FLAIR magnetic resonance.
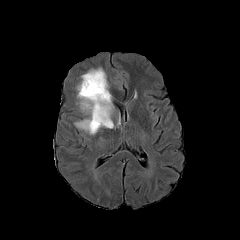
T1-weighted MRI.
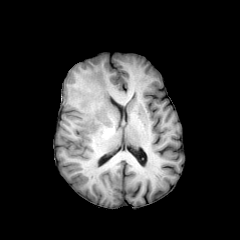
Post-contrast T1-weighted magnetic resonance.
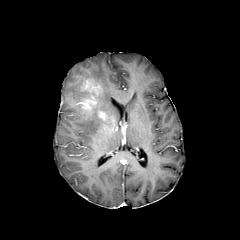
T2-weighted MR.
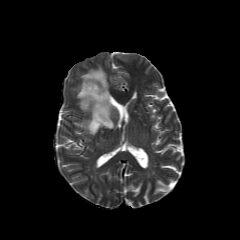
Brain
2 enhancing tumor regions are bounded by 98 111 106 119, 79 79 102 110. The peritumoral edema is bounded by 76 68 113 134.